FLAIR MRI.
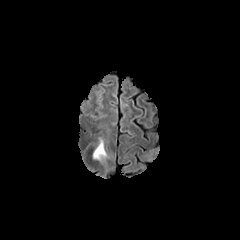
T1-weighted magnetic resonance.
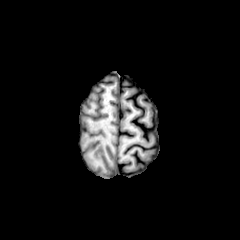
Post-contrast T1-weighted magnetic resonance.
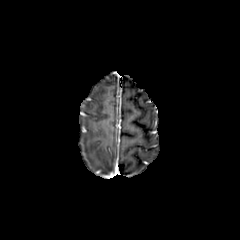
T2-weighted magnetic resonance.
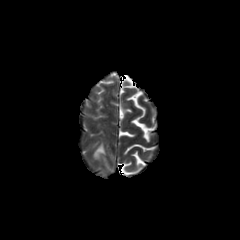
Axial plane
peritumoral edema at 93:141:105:159